Slice 70/155 | Image width 240 mm | Head
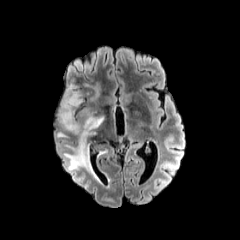
FLAIR magnetic resonance.
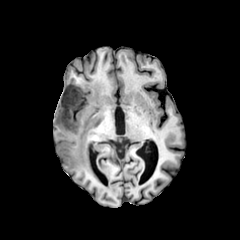
T1-weighted MR image.
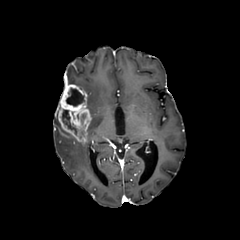
Post-contrast T1-weighted magnetic resonance.
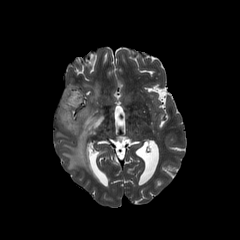
T2-weighted MRI of the same slice.
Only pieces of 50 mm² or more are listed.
necrotic tumor core at x1=62, y1=110, x2=77, y2=134; x1=66, y1=88, x2=84, y2=106
peritumoral edema at x1=84, y1=83, x2=99, y2=100; x1=63, y1=142, x2=97, y2=179; x1=88, y1=113, x2=103, y2=134
enhancing tumor at x1=57, y1=84, x2=91, y2=143